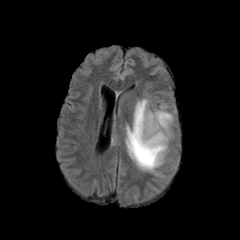
FLAIR MR.
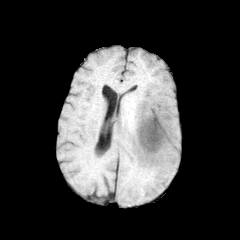
T1-weighted magnetic resonance of the same slice.
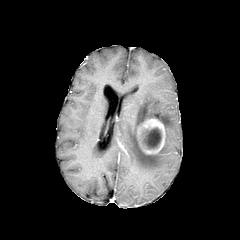
Post-contrast T1-weighted MR image.
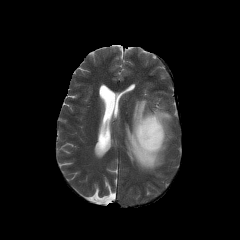
T2-weighted MR.
240x240, Brain
Findings:
- necrotic tumor core: region(142, 128, 161, 148)
- peritumoral edema: region(125, 99, 172, 171)
- enhancing tumor: region(137, 117, 165, 154)